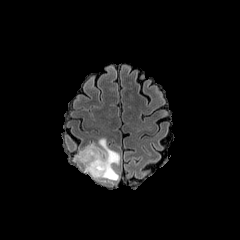
FLAIR MR image.
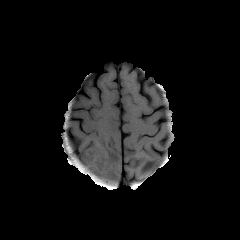
Same slice, T1-weighted magnetic resonance.
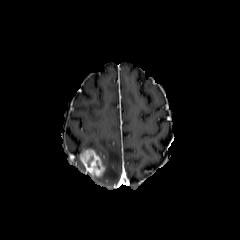
Post-contrast T1-weighted MRI of the same slice.
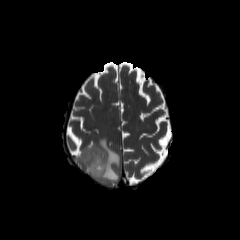
Same slice, T2-weighted magnetic resonance.
Image size 240x240, Axial view
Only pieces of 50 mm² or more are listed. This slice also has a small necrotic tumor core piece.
The enhancing tumor appears at [80,148,106,176]. The largest peritumoral edema region appears at [74,137,120,183].